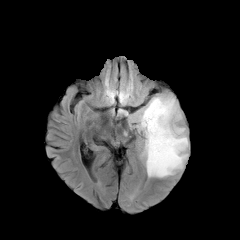
FLAIR MRI.
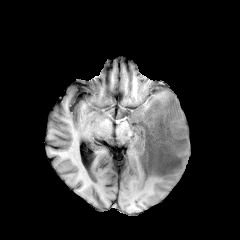
T1-weighted magnetic resonance of the same slice.
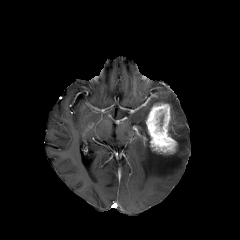
Post-contrast T1-weighted magnetic resonance.
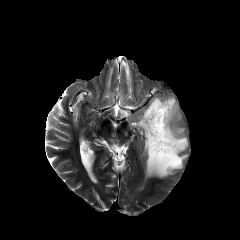
T2-weighted MR of the same slice.
Image size 240x240.
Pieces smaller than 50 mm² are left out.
The largest enhancing tumor region is located at [x1=145, y1=102, x2=177, y2=154]. The largest peritumoral edema region is bounded by [x1=120, y1=95, x2=188, y2=177].